FLAIR magnetic resonance.
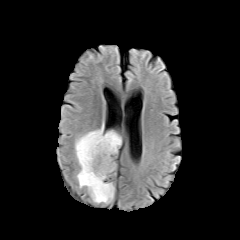
T1-weighted MRI.
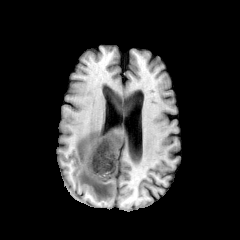
Post-contrast T1-weighted MR.
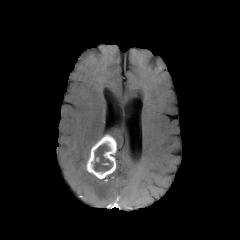
T2-weighted MRI.
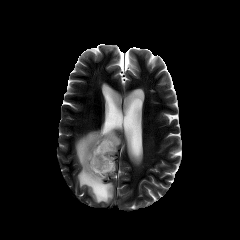
Axial plane; Head
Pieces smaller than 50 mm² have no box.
necrotic tumor core: 91 141 112 174 | enhancing tumor: 86 134 116 179 | peritumoral edema: 74 122 121 203